Head | Image covers 240 mm x 240 mm
FLAIR MRI.
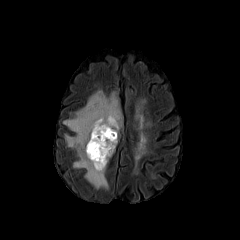
T1-weighted MR.
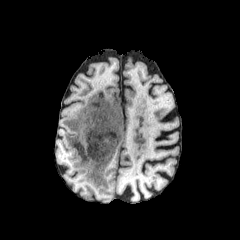
Post-contrast T1-weighted MR image.
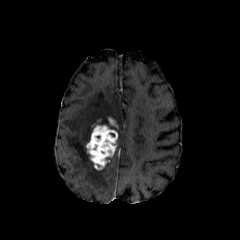
T2-weighted MR.
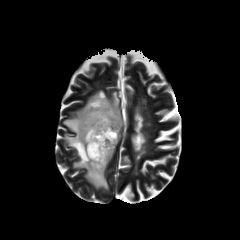
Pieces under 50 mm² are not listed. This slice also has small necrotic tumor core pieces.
{"peritumoral_edema": ["rect(63, 90, 122, 189)"], "enhancing_tumor": ["rect(86, 119, 117, 170)", "rect(108, 117, 118, 128)"]}